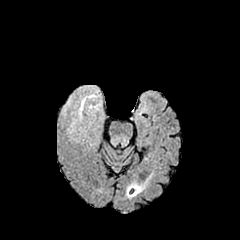
FLAIR magnetic resonance.
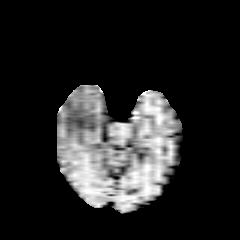
T1-weighted MRI.
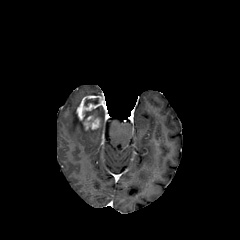
Post-contrast T1-weighted magnetic resonance.
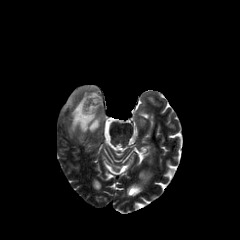
Same slice, T2-weighted MR.
Head.
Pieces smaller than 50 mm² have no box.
* necrotic tumor core: 84,109,95,119; 84,98,100,106
* peritumoral edema: 68,86,98,137; 63,94,75,111
* enhancing tumor: 76,95,102,130